Head
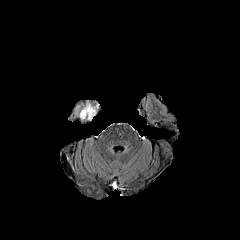
FLAIR MR image.
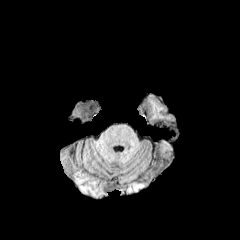
T1-weighted MRI of the same slice.
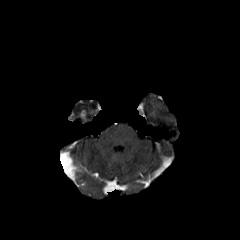
Post-contrast T1-weighted MR of the same slice.
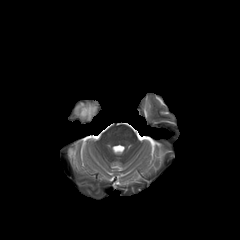
T2-weighted magnetic resonance.
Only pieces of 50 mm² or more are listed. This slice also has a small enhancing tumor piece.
peritumoral_edema:
  - box=[75, 103, 99, 119]